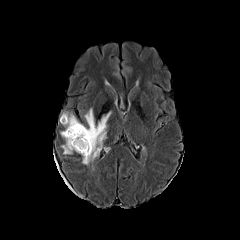
FLAIR MR.
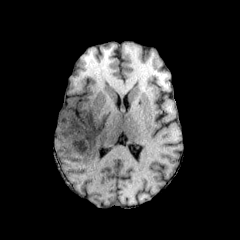
Same slice, T1-weighted MR image.
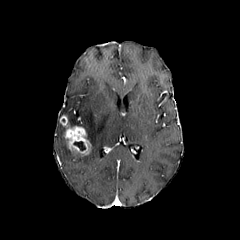
Same slice, post-contrast T1-weighted magnetic resonance.
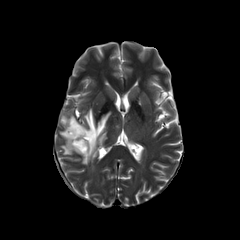
T2-weighted MR.
Axial plane | 240x240
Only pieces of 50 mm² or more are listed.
* enhancing tumor: box=[60, 115, 91, 155]
* peritumoral edema: box=[61, 108, 110, 165]; box=[61, 139, 74, 154]
* necrotic tumor core: box=[73, 141, 85, 151]